Image size 240x240 | Image width 240 mm, 1.00 mm slice spacing | Head
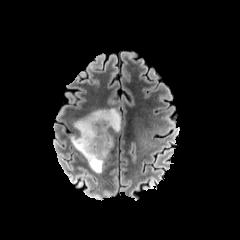
FLAIR magnetic resonance.
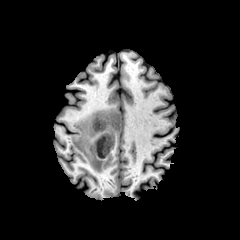
T1-weighted magnetic resonance.
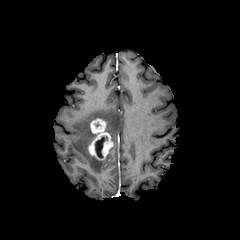
Post-contrast T1-weighted MR image.
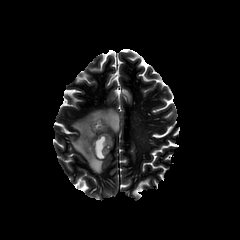
T2-weighted magnetic resonance.
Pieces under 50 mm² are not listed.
peritumoral edema = l=71, t=108, r=120, b=173
enhancing tumor = l=88, t=118, r=113, b=159
necrotic tumor core = l=95, t=136, r=107, b=158